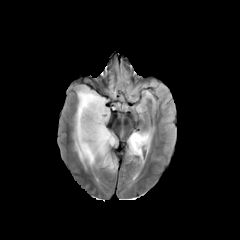
FLAIR MRI.
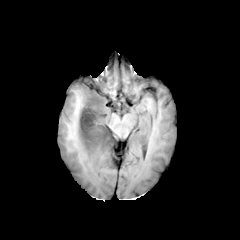
Same slice, T1-weighted MR.
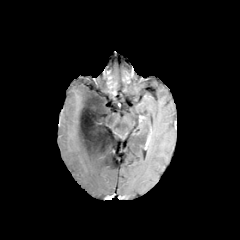
Post-contrast T1-weighted MRI of the same slice.
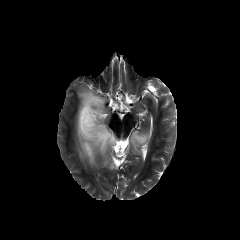
T2-weighted MR.
Axial view | Brain
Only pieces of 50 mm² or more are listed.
Segmented structures:
• peritumoral edema: 75:87:116:169, 128:132:150:156
• necrotic tumor core: 79:95:114:148